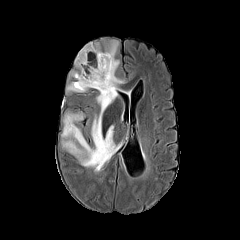
FLAIR MRI.
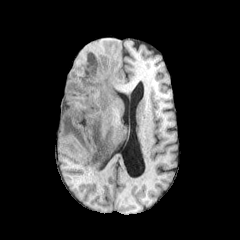
T1-weighted MR image of the same slice.
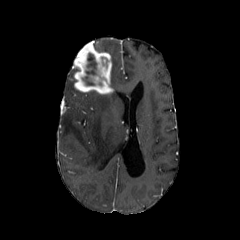
Post-contrast T1-weighted MRI.
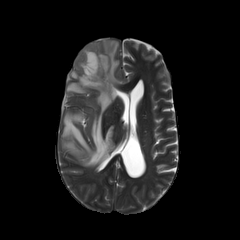
T2-weighted MRI.
Image size 240x240; Head
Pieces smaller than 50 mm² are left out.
The 2 largest peritumoral edema regions are bounded by [66, 82, 82, 92], [61, 41, 124, 167]. The 2 largest necrotic tumor core regions are located at [82, 77, 93, 85], [86, 53, 96, 74]. The enhancing tumor is bounded by [73, 41, 114, 94].